240x240 px | Slice index 62
FLAIR MRI.
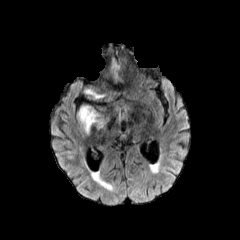
T1-weighted MR.
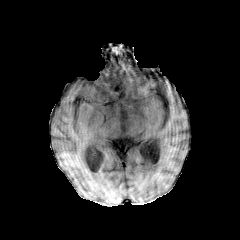
Post-contrast T1-weighted magnetic resonance.
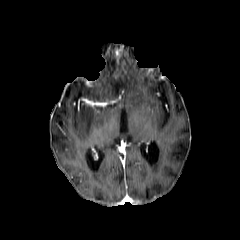
T2-weighted MRI.
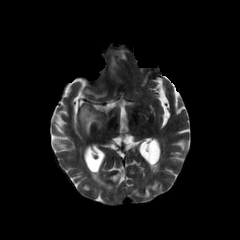
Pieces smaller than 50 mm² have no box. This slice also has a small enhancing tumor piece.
peritumoral edema = (85,90,103,97), (79,105,96,132)